Image width 240 mm, 1.00 mm slice spacing; Slice 114/155; Axial view
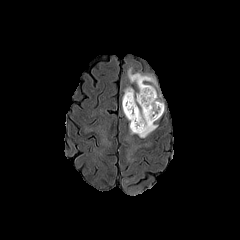
FLAIR MR image.
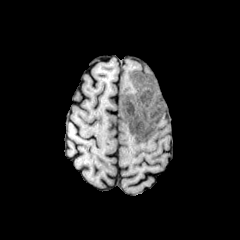
T1-weighted MR.
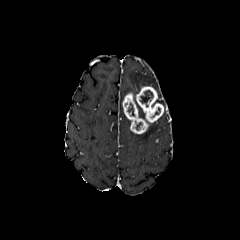
Same slice, post-contrast T1-weighted MR image.
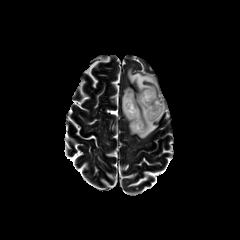
T2-weighted magnetic resonance.
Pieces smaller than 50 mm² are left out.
peritumoral edema: bbox=[127, 68, 157, 91]; bbox=[122, 86, 137, 101]; bbox=[138, 123, 157, 138]; bbox=[134, 97, 144, 118] | enhancing tumor: bbox=[122, 86, 164, 134] | necrotic tumor core: bbox=[141, 90, 153, 103]